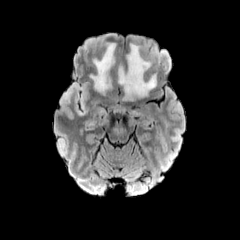
FLAIR magnetic resonance.
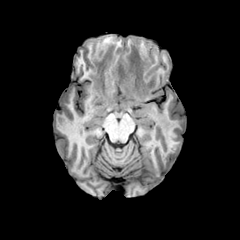
Same slice, T1-weighted MR.
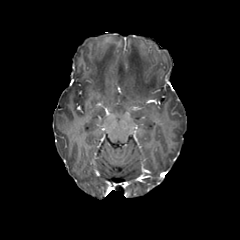
Post-contrast T1-weighted MRI of the same slice.
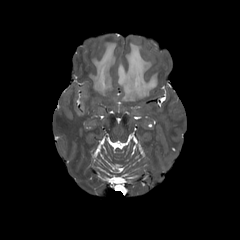
T2-weighted magnetic resonance.
Head, Axial plane
3 peritumoral edema regions are located at (89, 43, 115, 93), (62, 84, 88, 116), (118, 43, 156, 100).